Slice 103 of 155; Head; 240x240 px; Axial plane
FLAIR MR image.
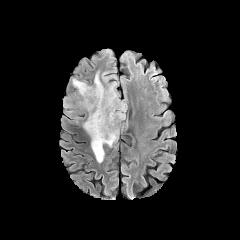
T1-weighted MR.
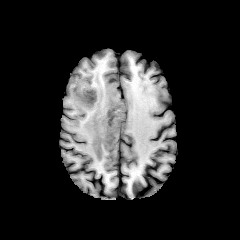
Post-contrast T1-weighted MRI.
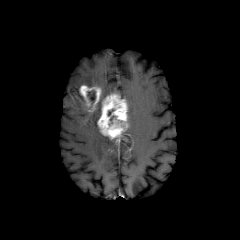
T2-weighted MR image.
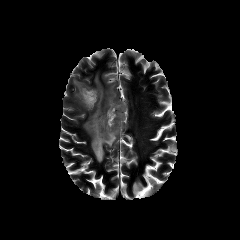
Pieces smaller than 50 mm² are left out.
The 2 largest peritumoral edema regions are bounded by {"x1": 84, "y1": 73, "x2": 115, "y2": 162}, {"x1": 73, "y1": 79, "x2": 85, "y2": 90}. 2 enhancing tumor regions are bounded by {"x1": 97, "y1": 92, "x2": 128, "y2": 142}, {"x1": 76, "y1": 85, "x2": 101, "y2": 112}. The 2 largest necrotic tumor core regions are bounded by {"x1": 108, "y1": 115, "x2": 117, "y2": 129}, {"x1": 88, "y1": 91, "x2": 95, "y2": 101}.